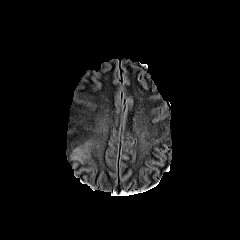
FLAIR magnetic resonance.
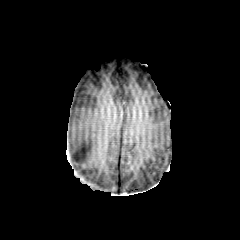
T1-weighted MRI.
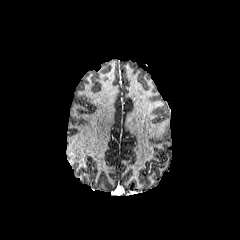
Post-contrast T1-weighted MRI.
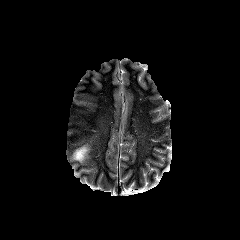
T2-weighted MRI of the same slice.
Head.
The peritumoral edema is located at x1=71 y1=142 x2=90 y2=162.